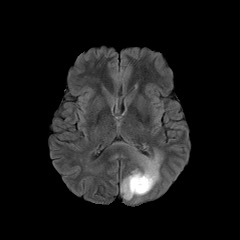
FLAIR MRI.
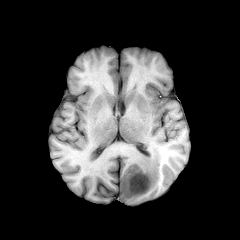
T1-weighted magnetic resonance of the same slice.
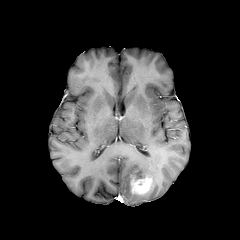
Post-contrast T1-weighted MR.
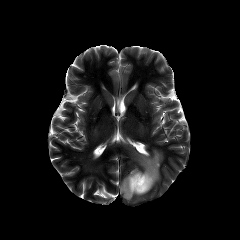
T2-weighted MR.
Head | Axial plane
<segmentation>
  <peritumoral_edema><box>120,150,162,200</box></peritumoral_edema>
  <enhancing_tumor><box>130,175,152,194</box></enhancing_tumor>
</segmentation>